Slice 116/155, Head
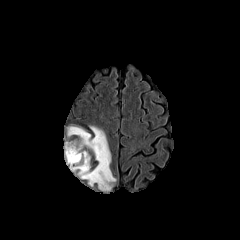
FLAIR magnetic resonance.
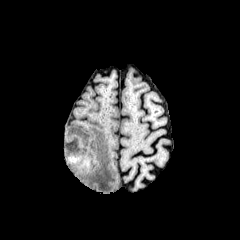
T1-weighted magnetic resonance of the same slice.
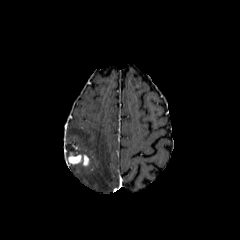
Same slice, post-contrast T1-weighted MR image.
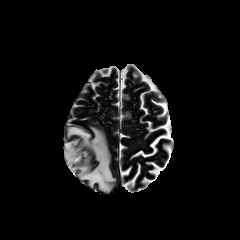
T2-weighted MR image of the same slice.
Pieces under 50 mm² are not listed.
enhancing tumor — x1=66, y1=152, x2=89, y2=166
peritumoral edema — x1=65, y1=126, x2=116, y2=192